FLAIR magnetic resonance.
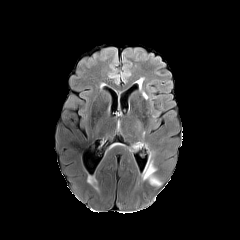
T1-weighted MRI.
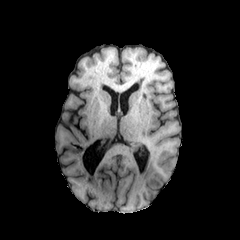
Post-contrast T1-weighted MR.
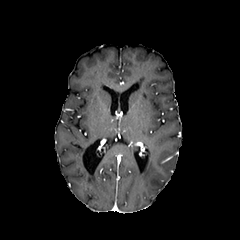
T2-weighted MR image.
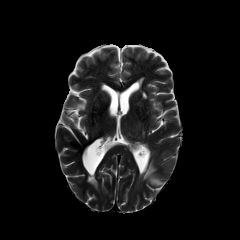
Axial view
peritumoral edema: <bbox>143, 161, 161, 185</bbox>